Axial view; Slice 117/155; 240x240; Image width 240 mm, 1.00 mm slice spacing; Head
FLAIR MR.
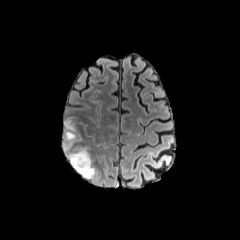
T1-weighted MR.
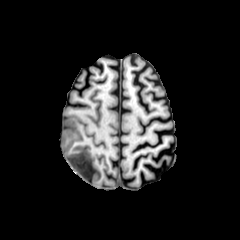
Post-contrast T1-weighted MR.
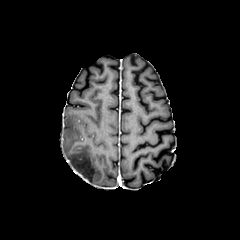
T2-weighted MR image.
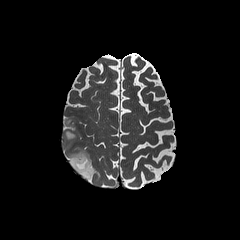
{"peritumoral_edema": ["region(63, 116, 94, 178)"]}